Axial view; Slice index 126
FLAIR magnetic resonance.
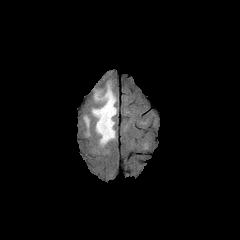
T1-weighted magnetic resonance.
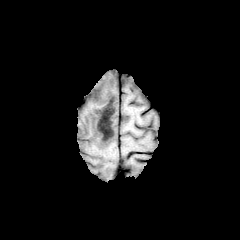
Post-contrast T1-weighted MR image.
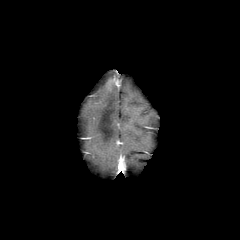
T2-weighted MR image.
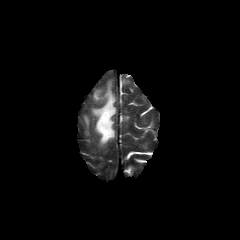
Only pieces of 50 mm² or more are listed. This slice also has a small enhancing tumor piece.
peritumoral edema: bounding box (92,81,117,146)